FLAIR MR image.
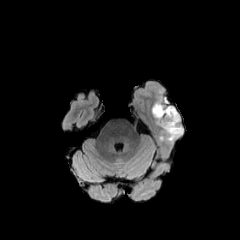
T1-weighted magnetic resonance.
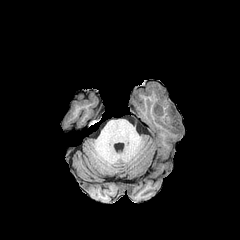
Post-contrast T1-weighted MR image.
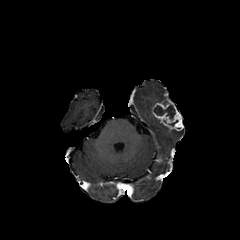
T2-weighted MRI.
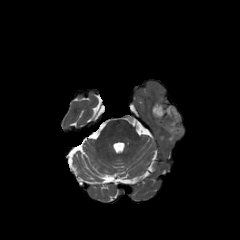
Brain
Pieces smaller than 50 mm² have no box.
{
  "enhancing_tumor": [
    {"x1": 152, "y1": 98, "x2": 183, "y2": 131}
  ],
  "necrotic_tumor_core": [
    {"x1": 154, "y1": 105, "x2": 175, "y2": 120}
  ],
  "peritumoral_edema": [
    {"x1": 157, "y1": 119, "x2": 183, "y2": 141}
  ]
}